Slice index 112 | Brain
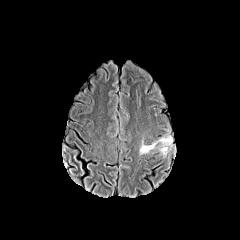
FLAIR MR image.
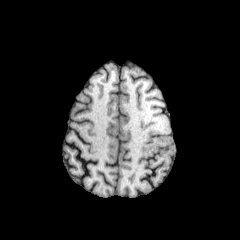
T1-weighted MRI of the same slice.
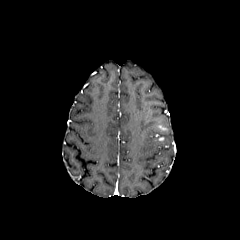
Post-contrast T1-weighted MRI of the same slice.
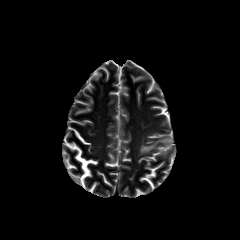
Same slice, T2-weighted magnetic resonance.
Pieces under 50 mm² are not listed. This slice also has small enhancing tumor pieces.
peritumoral edema: (140, 135, 172, 156)